FLAIR MRI.
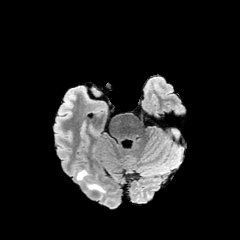
T1-weighted MR.
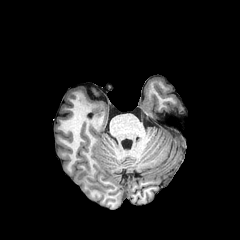
Post-contrast T1-weighted MR image.
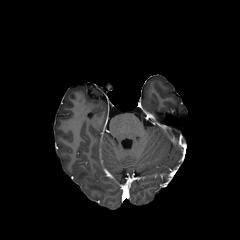
T2-weighted MR image.
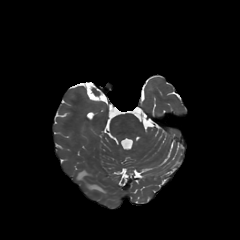
Head. Image size 240x240.
peritumoral edema = (76, 169, 106, 193)